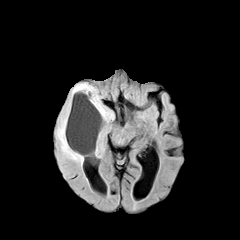
FLAIR MR image.
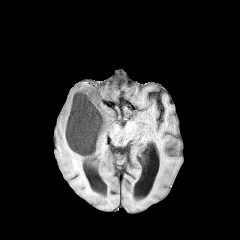
T1-weighted MRI.
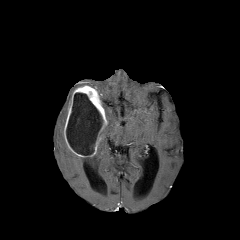
Post-contrast T1-weighted MRI of the same slice.
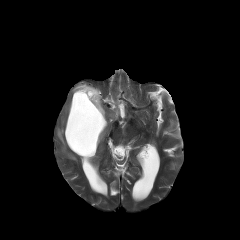
T2-weighted magnetic resonance.
240x240 | Axial view
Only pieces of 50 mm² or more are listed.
peritumoral edema = x1=95 y1=104 x2=114 y2=156, x1=56 y1=83 x2=88 y2=164
enhancing tumor = x1=64 y1=85 x2=107 y2=156
necrotic tumor core = x1=66 y1=93 x2=102 y2=155